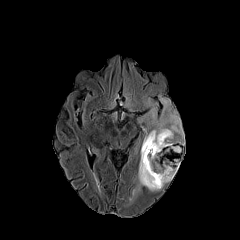
FLAIR MR image.
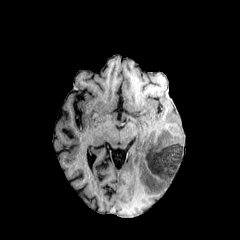
T1-weighted MR image.
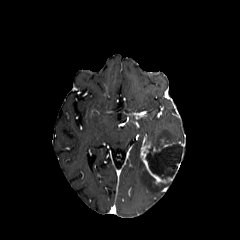
Post-contrast T1-weighted magnetic resonance.
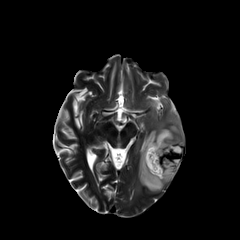
T2-weighted MR image.
Image size 240x240. Brain.
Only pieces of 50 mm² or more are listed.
Annotated regions:
* peritumoral edema: <box>138,160,164,191</box>, <box>146,114,182,144</box>
* necrotic tumor core: <box>146,143,182,178</box>
* enhancing tumor: <box>160,139,176,147</box>, <box>140,140,174,184</box>